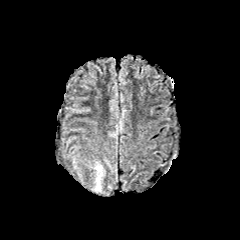
FLAIR MRI.
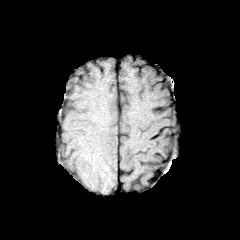
T1-weighted MR of the same slice.
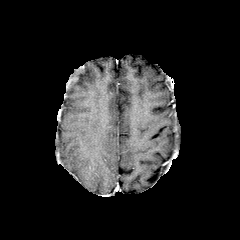
Post-contrast T1-weighted magnetic resonance of the same slice.
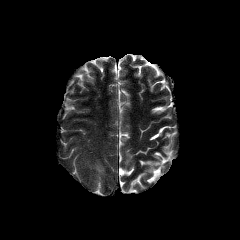
T2-weighted MRI.
Axial view | 240x240 px
The peritumoral edema is bounded by 95 165 102 190.